Axial plane | Slice 100 of 155 | Head
FLAIR MRI.
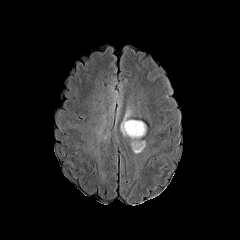
T1-weighted MRI.
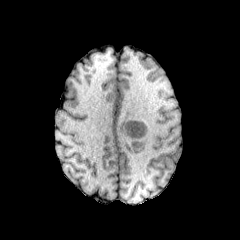
Post-contrast T1-weighted MRI.
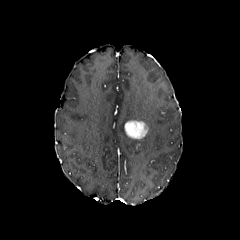
T2-weighted MR image.
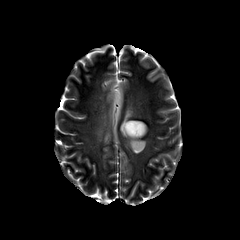
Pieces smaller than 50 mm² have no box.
{
  "enhancing_tumor": [
    "[x1=124, y1=120, x2=147, y2=139]"
  ],
  "peritumoral_edema": [
    "[x1=120, y1=106, x2=132, y2=137]",
    "[x1=112, y1=86, x2=115, y2=112]",
    "[x1=116, y1=99, x2=121, y2=122]",
    "[x1=98, y1=114, x2=106, y2=134]",
    "[x1=130, y1=138, x2=145, y2=153]"
  ]
}